Slice 70/155 | Brain
FLAIR MRI.
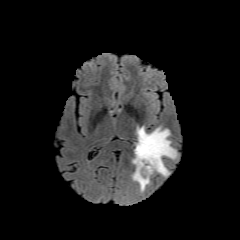
T1-weighted MRI.
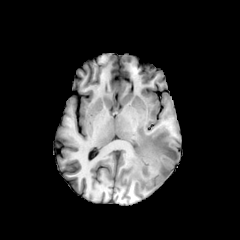
Post-contrast T1-weighted magnetic resonance.
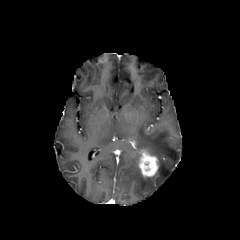
T2-weighted magnetic resonance.
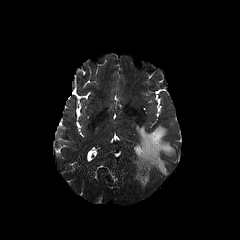
The enhancing tumor is located at <bbox>138, 150, 158, 176</bbox>. The peritumoral edema lies within <bbox>132, 126, 176, 191</bbox>.